FLAIR MRI.
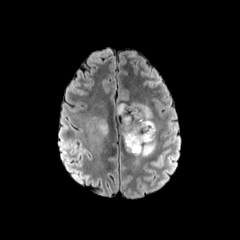
T1-weighted MRI.
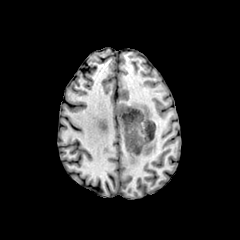
Post-contrast T1-weighted MR.
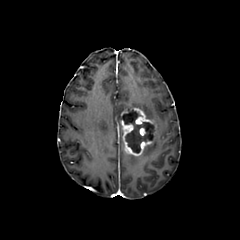
T2-weighted magnetic resonance.
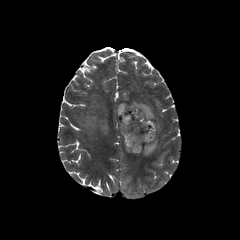
240x240 px | Axial view | Brain
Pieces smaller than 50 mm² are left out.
enhancing tumor: l=120, t=107, r=155, b=156 | peritumoral edema: l=142, t=126, r=156, b=155; l=97, t=119, r=108, b=134; l=117, t=102, r=153, b=120 | necrotic tumor core: l=121, t=109, r=153, b=153